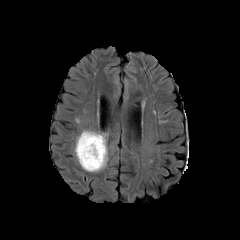
FLAIR MRI.
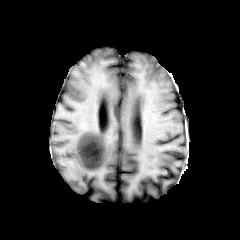
T1-weighted MRI.
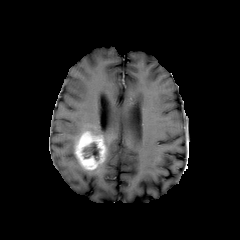
Post-contrast T1-weighted magnetic resonance of the same slice.
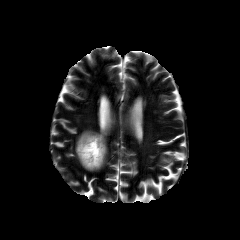
Same slice, T2-weighted magnetic resonance.
Image size 240x240. Axial slice. Head.
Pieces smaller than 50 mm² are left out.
The largest peritumoral edema region lies within bbox(75, 130, 108, 172). The enhancing tumor is bounded by bbox(75, 131, 106, 170). The largest necrotic tumor core region is at bbox(83, 143, 98, 159).